Image width 240 mm. Axial plane. Head. Slice 70/155.
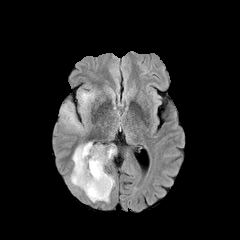
FLAIR magnetic resonance.
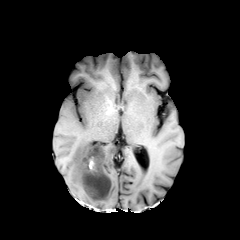
Same slice, T1-weighted MR.
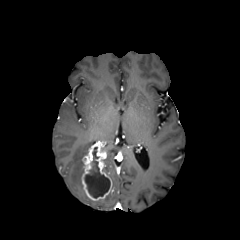
Post-contrast T1-weighted MR.
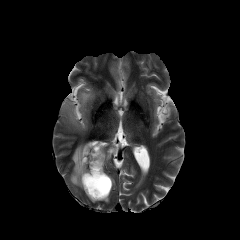
T2-weighted MR of the same slice.
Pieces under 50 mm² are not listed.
<segmentation>
  <enhancing_tumor>[81,143,112,200]</enhancing_tumor>
  <necrotic_tumor_core>[84,147,110,198]</necrotic_tumor_core>
  <peritumoral_edema>[70,142,93,189], [104,145,116,165], [62,102,82,130], [80,92,94,112]</peritumoral_edema>
</segmentation>